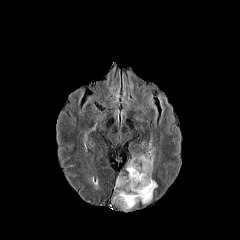
FLAIR MR image.
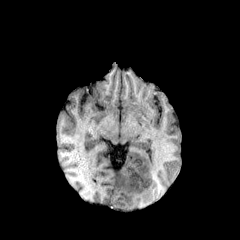
T1-weighted MR image of the same slice.
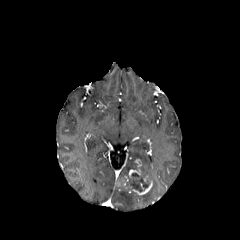
Post-contrast T1-weighted magnetic resonance.
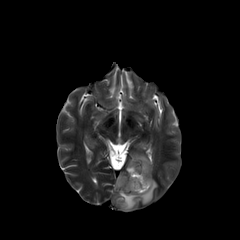
Same slice, T2-weighted MR.
Axial view.
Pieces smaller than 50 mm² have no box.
• enhancing tumor: [116,175,152,195], [128,169,141,178]
• necrotic tumor core: [126,173,149,192]
• peritumoral edema: [126,154,154,179], [112,180,157,210]